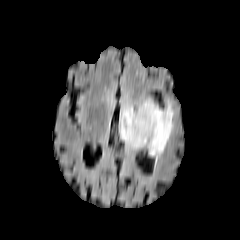
FLAIR MR image.
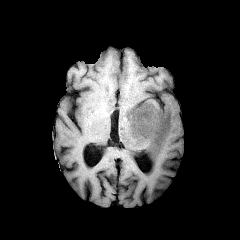
T1-weighted magnetic resonance.
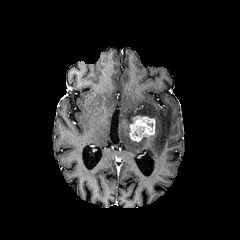
Post-contrast T1-weighted MR.
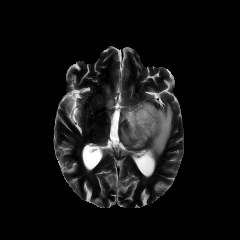
Same slice, T2-weighted MR.
Brain; Axial slice
peritumoral edema: bounding box 120,100,176,160
enhancing tumor: bounding box 129,115,155,141